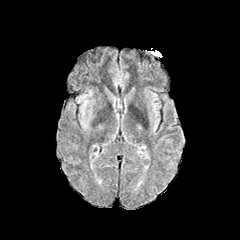
FLAIR MR.
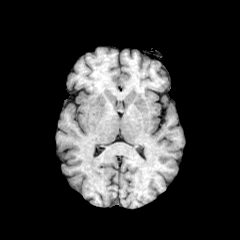
T1-weighted magnetic resonance.
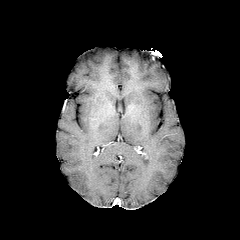
Post-contrast T1-weighted MR.
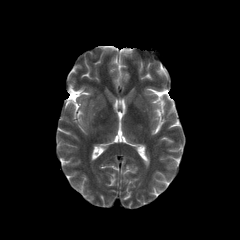
T2-weighted MRI of the same slice.
240x240 px; Axial slice
2 peritumoral edema regions are bounded by bbox(81, 108, 92, 126); bbox(79, 92, 91, 118).